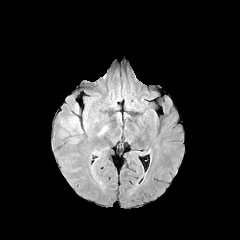
FLAIR MR image.
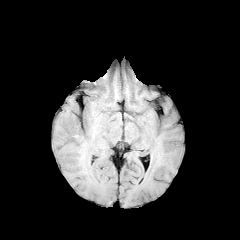
T1-weighted MR image of the same slice.
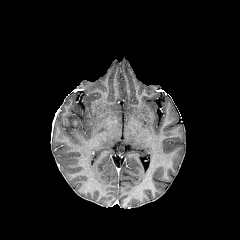
Post-contrast T1-weighted MR of the same slice.
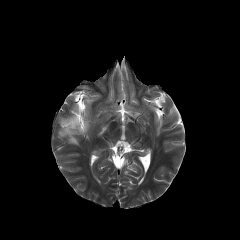
T2-weighted MR.
240x240. Axial slice. Brain.
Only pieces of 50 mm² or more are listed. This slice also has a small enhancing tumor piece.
peritumoral edema: bounding box left=61, top=116, right=81, bottom=132